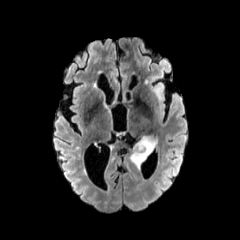
FLAIR MRI.
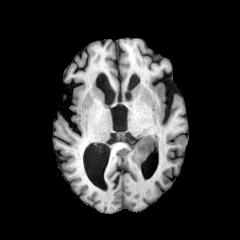
T1-weighted MR image of the same slice.
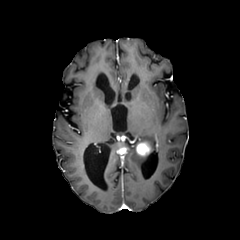
Post-contrast T1-weighted MRI of the same slice.
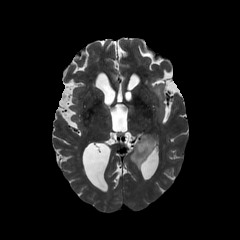
Same slice, T2-weighted magnetic resonance.
Axial slice
The enhancing tumor lies within box(136, 141, 151, 156). The peritumoral edema is at box(130, 135, 157, 168).